Image covers 240 mm x 240 mm, Head, Slice 63/155
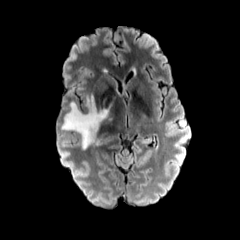
FLAIR MR image.
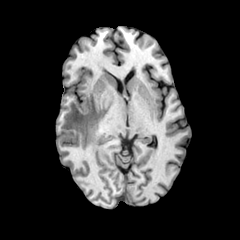
Same slice, T1-weighted MR.
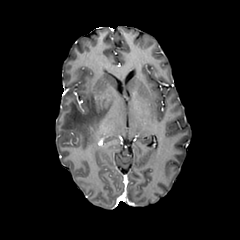
Post-contrast T1-weighted MR image.
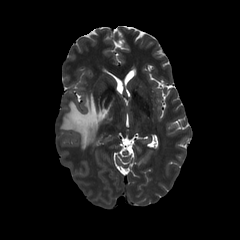
T2-weighted MR of the same slice.
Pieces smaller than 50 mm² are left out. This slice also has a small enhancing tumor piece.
{"peritumoral_edema": ["[61, 95, 114, 149]"]}